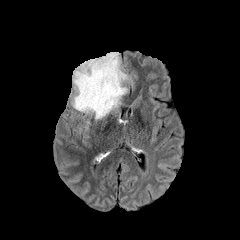
FLAIR magnetic resonance.
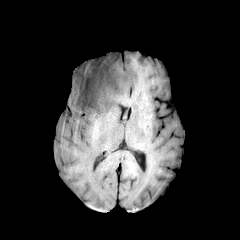
Same slice, T1-weighted MR.
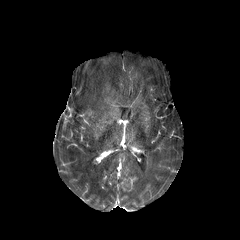
Post-contrast T1-weighted magnetic resonance.
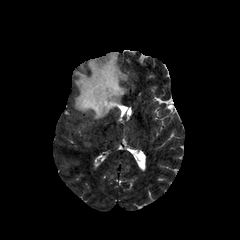
T2-weighted MR.
240x240; Axial plane
{"peritumoral_edema": ["72,52,127,119"]}